Image size 240x240 | Axial slice | Image covers 240 mm x 240 mm
FLAIR magnetic resonance.
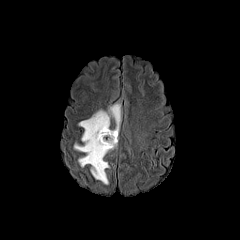
T1-weighted MR.
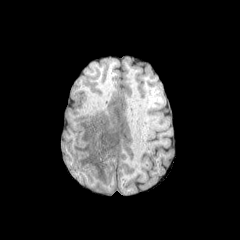
Post-contrast T1-weighted magnetic resonance.
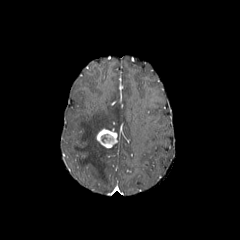
T2-weighted MR image.
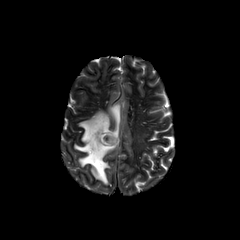
{"necrotic_tumor_core": ["left=100, top=133, right=112, bottom=143"], "enhancing_tumor": ["left=96, top=128, right=117, bottom=148"], "peritumoral_edema": ["left=74, top=103, right=120, bottom=184"]}